Slice index 33.
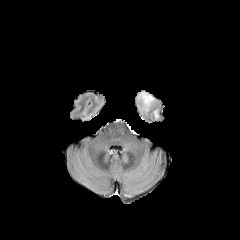
FLAIR MR.
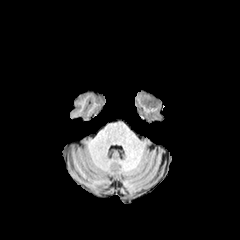
Same slice, T1-weighted MR.
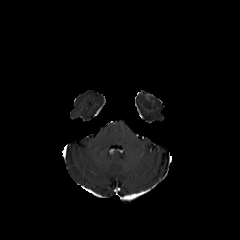
Post-contrast T1-weighted magnetic resonance.
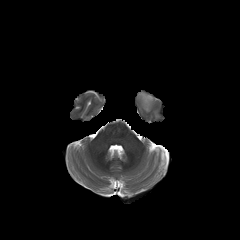
T2-weighted magnetic resonance.
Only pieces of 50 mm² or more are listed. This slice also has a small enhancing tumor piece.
Segmented structures:
* peritumoral edema: l=138, t=92, r=154, b=112